Slice 89/155; Brain
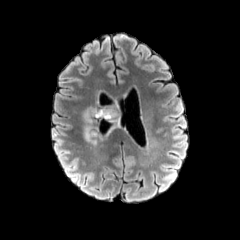
FLAIR MRI.
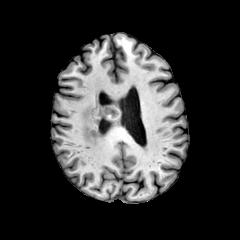
T1-weighted magnetic resonance.
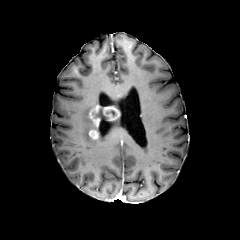
Post-contrast T1-weighted magnetic resonance of the same slice.
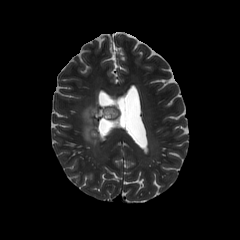
Same slice, T2-weighted MR.
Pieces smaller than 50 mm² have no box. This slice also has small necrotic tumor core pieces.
The largest peritumoral edema region is located at <box>82,100,99,143</box>. 2 enhancing tumor regions are located at <box>89,129,99,139</box>, <box>89,105,120,128</box>.